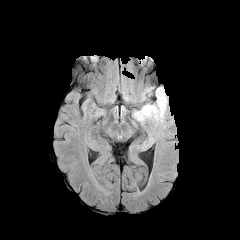
FLAIR magnetic resonance.
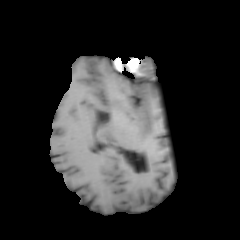
T1-weighted magnetic resonance.
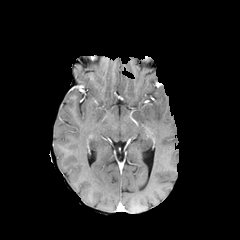
Post-contrast T1-weighted MR of the same slice.
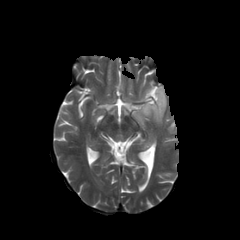
T2-weighted MR image.
240x240.
The peritumoral edema is at (132,87,166,126).